FLAIR MR image.
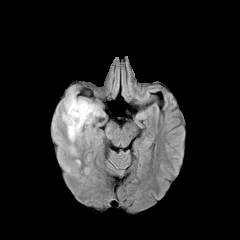
T1-weighted magnetic resonance.
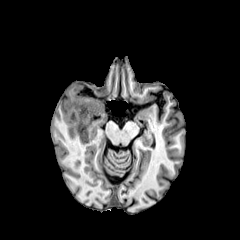
Post-contrast T1-weighted MRI.
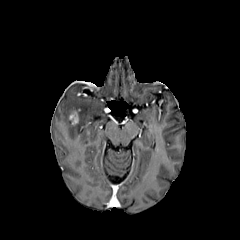
T2-weighted MRI.
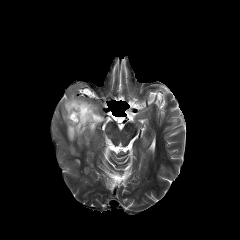
Brain | Axial plane
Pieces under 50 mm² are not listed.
The largest peritumoral edema region is located at box=[62, 89, 101, 154]. The enhancing tumor is located at box=[69, 109, 80, 124].